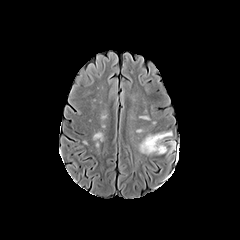
FLAIR MR.
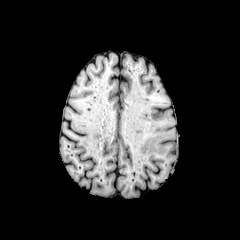
T1-weighted MR image.
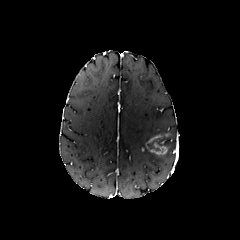
Same slice, post-contrast T1-weighted MR.
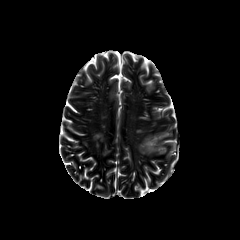
T2-weighted MR image of the same slice.
Axial plane
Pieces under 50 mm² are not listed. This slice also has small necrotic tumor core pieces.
enhancing_tumor:
  - region(146, 135, 167, 154)
peritumoral_edema:
  - region(139, 135, 153, 154)
  - region(157, 131, 172, 146)